FLAIR MRI.
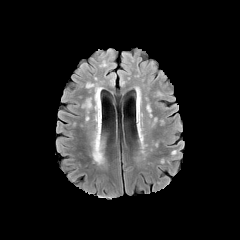
T1-weighted MR.
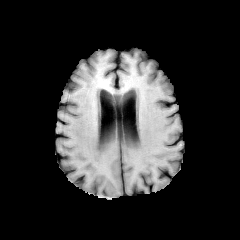
Post-contrast T1-weighted magnetic resonance.
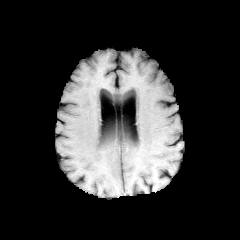
T2-weighted magnetic resonance.
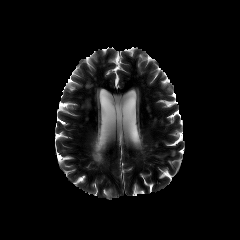
Axial slice.
peritumoral_edema:
  - [92,123,103,163]